Axial plane, Brain
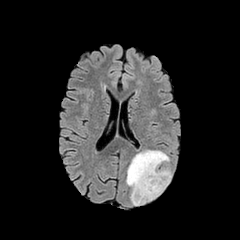
FLAIR MR image.
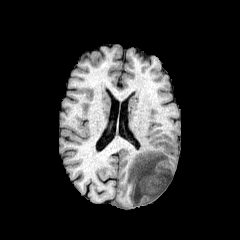
Same slice, T1-weighted magnetic resonance.
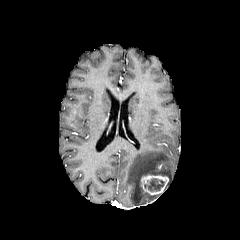
Post-contrast T1-weighted magnetic resonance.
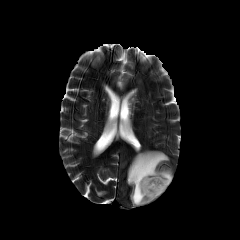
T2-weighted MRI.
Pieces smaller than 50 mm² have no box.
Segmented structures:
- peritumoral edema: <bbox>126, 150, 171, 205</bbox>
- enhancing tumor: <bbox>140, 174, 168, 195</bbox>
- necrotic tumor core: <bbox>148, 178, 164, 191</bbox>